FLAIR MRI.
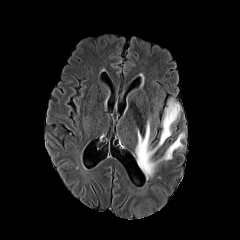
T1-weighted MR image.
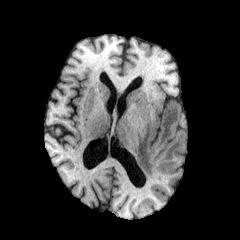
Post-contrast T1-weighted MR.
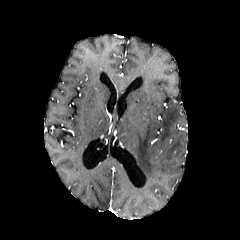
T2-weighted MRI.
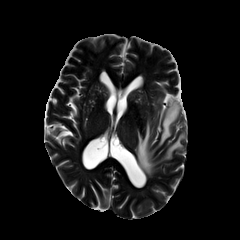
Head
peritumoral edema: [x1=135, y1=100, x2=184, y2=179]